FLAIR MR.
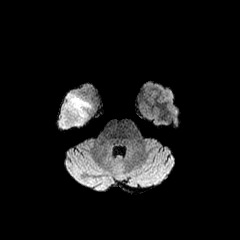
T1-weighted MR image.
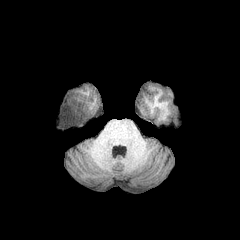
Post-contrast T1-weighted MR.
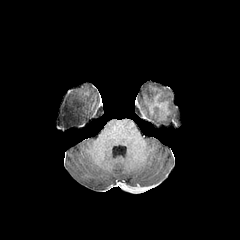
T2-weighted MRI.
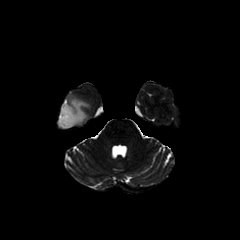
The peritumoral edema is at [57,94,90,129].